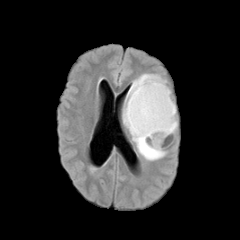
FLAIR MRI.
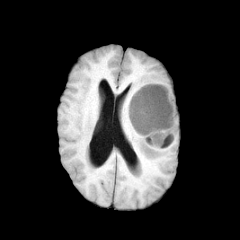
T1-weighted MR.
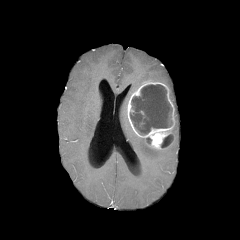
Post-contrast T1-weighted MR image.
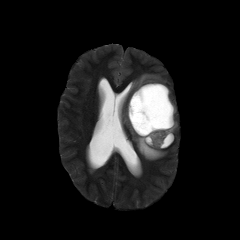
T2-weighted MRI of the same slice.
Head
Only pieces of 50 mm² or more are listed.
necrotic tumor core at {"x1": 130, "y1": 84, "x2": 172, "y2": 134}, {"x1": 160, "y1": 135, "x2": 172, "y2": 147}
enhancing tumor at {"x1": 127, "y1": 80, "x2": 175, "y2": 149}
peritumoral edema at {"x1": 171, "y1": 102, "x2": 177, "y2": 133}, {"x1": 122, "y1": 73, "x2": 166, "y2": 160}